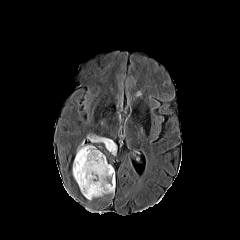
FLAIR MR.
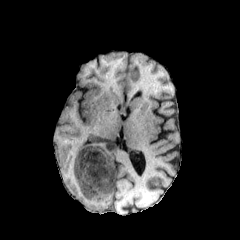
T1-weighted magnetic resonance.
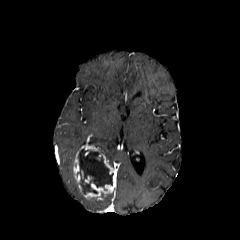
Post-contrast T1-weighted MRI.
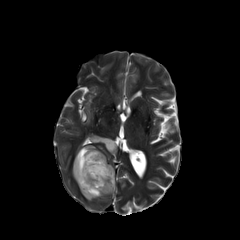
T2-weighted MRI of the same slice.
Brain, Axial slice
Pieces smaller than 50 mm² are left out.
{"peritumoral_edema": ["rect(90, 135, 116, 155)"], "enhancing_tumor": ["rect(73, 144, 115, 199)"], "necrotic_tumor_core": ["rect(78, 149, 113, 193)"]}